Image width 240 mm, 1.00 mm slice spacing. Image size 240x240. Brain.
FLAIR MR image.
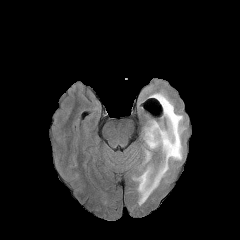
T1-weighted magnetic resonance.
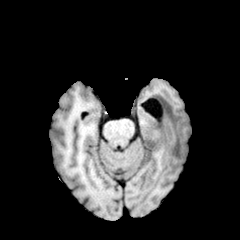
Post-contrast T1-weighted magnetic resonance.
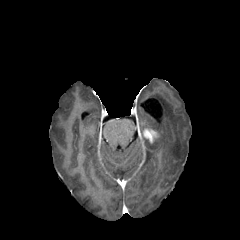
T2-weighted magnetic resonance.
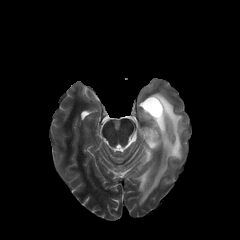
enhancing tumor — region(143, 129, 158, 143)
peritumoral edema — region(134, 92, 185, 205); region(145, 150, 151, 162)